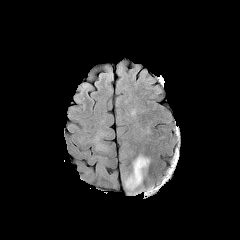
FLAIR MRI.
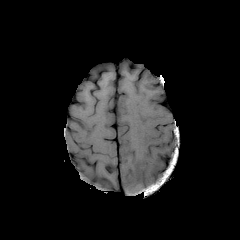
T1-weighted MR.
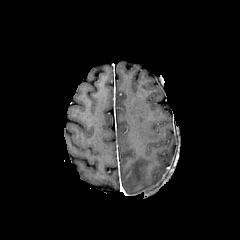
Post-contrast T1-weighted MRI.
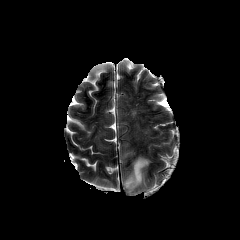
T2-weighted MR image.
Annotated regions:
* peritumoral edema: {"x1": 123, "y1": 155, "x2": 149, "y2": 193}